FLAIR MR.
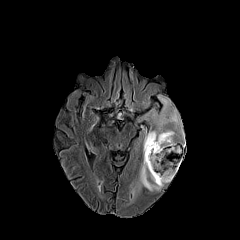
T1-weighted MR.
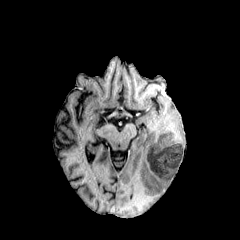
Post-contrast T1-weighted MR image.
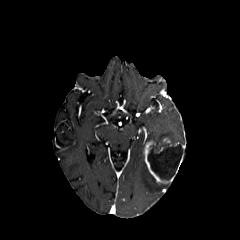
T2-weighted MR.
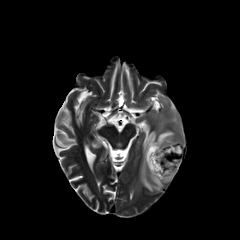
240x240
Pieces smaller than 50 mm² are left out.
2 peritumoral edema regions are bounded by bbox(145, 97, 183, 143); bbox(138, 160, 165, 191). The necrotic tumor core appears at bbox(147, 143, 183, 180). The 2 largest enhancing tumor regions are bounded by bbox(162, 137, 178, 146); bbox(143, 140, 174, 183).